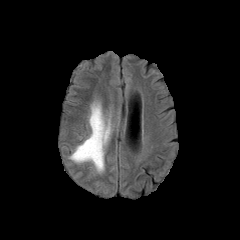
FLAIR MR.
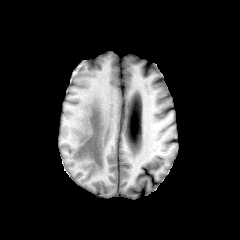
T1-weighted MRI.
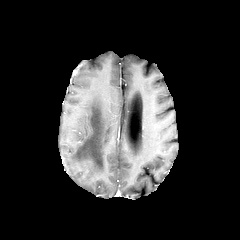
Post-contrast T1-weighted MR image.
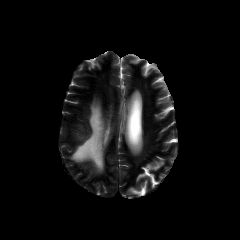
T2-weighted MR image.
Head. 240x240 px.
peritumoral edema: box(70, 102, 110, 172)